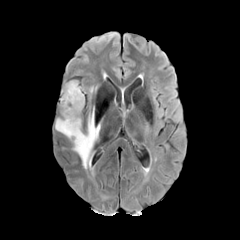
FLAIR MRI.
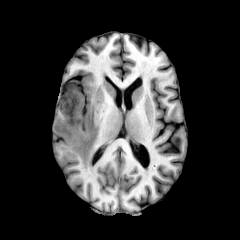
T1-weighted magnetic resonance.
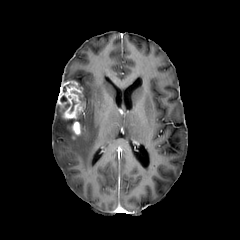
Post-contrast T1-weighted magnetic resonance of the same slice.
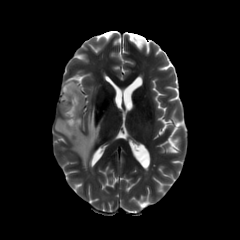
T2-weighted MRI of the same slice.
Image size 240x240
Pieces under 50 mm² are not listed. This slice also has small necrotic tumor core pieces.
2 enhancing tumor regions are bounded by 58,81,83,119; 72,121,81,134. The 2 largest peritumoral edema regions are bounded by 88,87,93,99; 55,108,100,169.